FLAIR MRI.
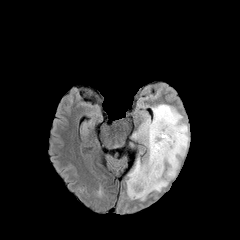
T1-weighted MR.
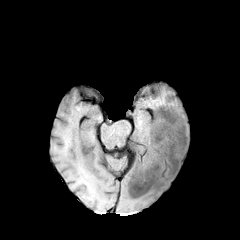
Post-contrast T1-weighted MR image.
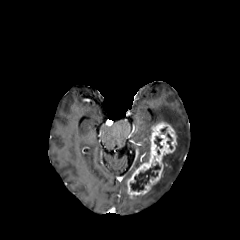
T2-weighted MRI.
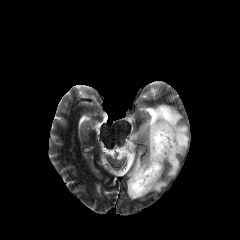
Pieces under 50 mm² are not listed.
{"necrotic_tumor_core": ["(130,164,160,191)"], "peritumoral_edema": ["(127,104,189,200)"], "enhancing_tumor": ["(127,121,177,198)"]}